FLAIR MR.
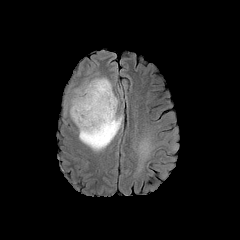
T1-weighted MRI.
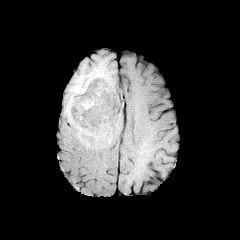
Post-contrast T1-weighted MRI.
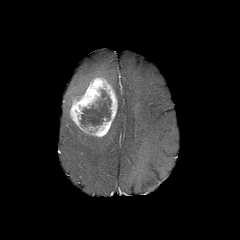
T2-weighted MR.
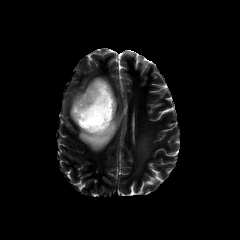
Image size 240x240
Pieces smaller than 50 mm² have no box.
{"enhancing_tumor": ["[x1=70, y1=78, x2=117, y2=136]"], "peritumoral_edema": ["[x1=69, y1=76, x2=111, y2=119]", "[x1=79, y1=97, x2=122, y2=151]", "[x1=138, y1=129, x2=177, y2=164]"], "necrotic_tumor_core": ["[x1=80, y1=89, x2=111, y2=126]"]}